Axial plane, Head
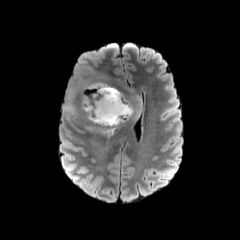
FLAIR MRI.
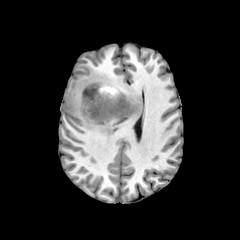
T1-weighted MR.
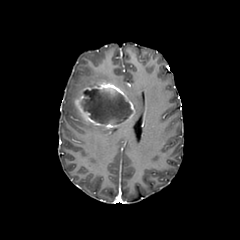
Same slice, post-contrast T1-weighted MR image.
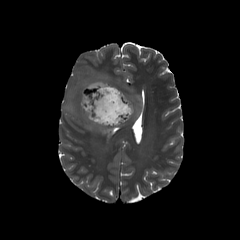
T2-weighted MRI.
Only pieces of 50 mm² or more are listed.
The enhancing tumor lies within bbox=[74, 82, 139, 130]. The 3 largest peritumoral edema regions are bounded by bbox=[65, 104, 76, 112]; bbox=[85, 126, 112, 134]; bbox=[129, 94, 144, 120]. The necrotic tumor core appears at bbox=[81, 89, 132, 124].